FLAIR MR.
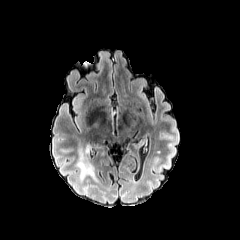
T1-weighted MRI.
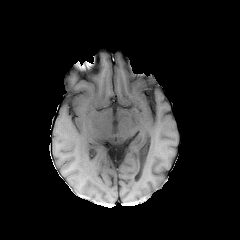
Post-contrast T1-weighted MRI.
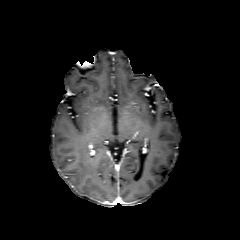
T2-weighted MR.
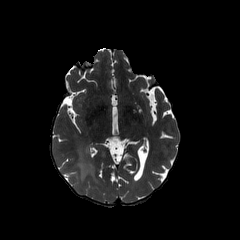
Brain. Image size 240x240.
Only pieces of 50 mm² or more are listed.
peritumoral edema: l=77, t=145, r=100, b=183